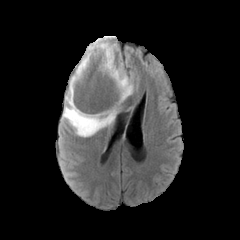
FLAIR MRI.
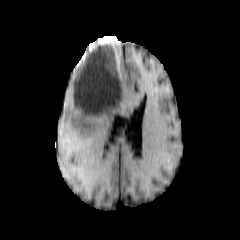
Same slice, T1-weighted MR image.
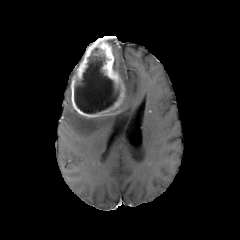
Post-contrast T1-weighted MR image.
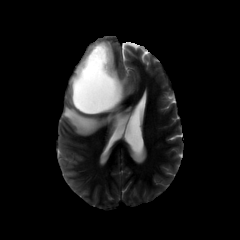
T2-weighted MR.
240x240 px | Brain | Axial plane
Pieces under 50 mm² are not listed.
peritumoral edema: <box>107,41,118,53</box>, <box>113,62,133,101</box>, <box>63,77,115,136</box>
necrotic tumor core: <box>74,56,118,113</box>
enhancing tumor: <box>70,37,127,118</box>